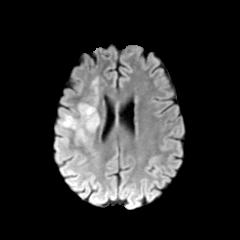
FLAIR MR.
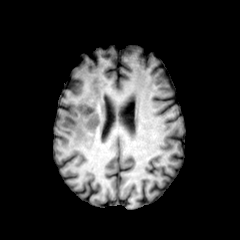
T1-weighted magnetic resonance of the same slice.
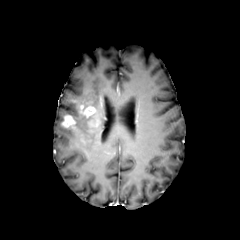
Post-contrast T1-weighted MRI.
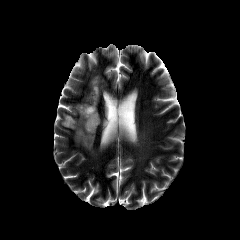
T2-weighted MRI.
Axial plane.
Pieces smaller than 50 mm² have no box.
enhancing tumor: bounding box 79,105,99,127; 61,114,75,128
peritumoral edema: bounding box 80,114,95,132; 73,120,86,142